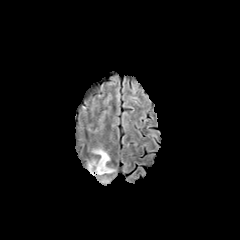
FLAIR magnetic resonance.
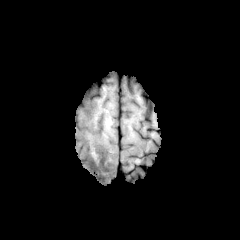
T1-weighted MRI.
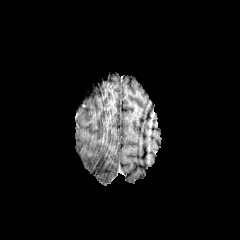
Post-contrast T1-weighted MR image.
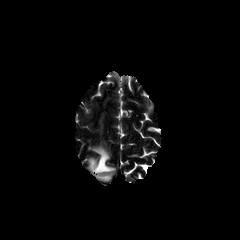
T2-weighted magnetic resonance of the same slice.
Brain, Axial slice
peritumoral edema = 88 148 115 182